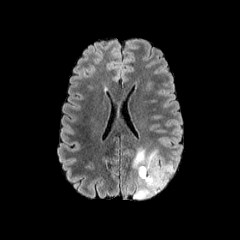
FLAIR magnetic resonance.
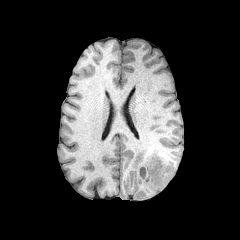
Same slice, T1-weighted MRI.
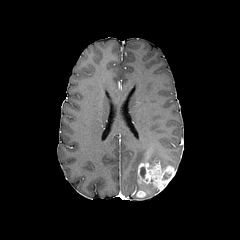
Post-contrast T1-weighted MR image.
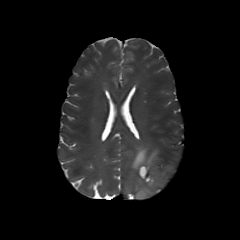
T2-weighted magnetic resonance.
Axial view
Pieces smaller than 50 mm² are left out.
The peritumoral edema lies within (x1=132, y1=146, x2=176, y2=200). The largest necrotic tumor core region is bounded by (x1=140, y1=167, x2=145, y2=178). 2 enhancing tumor regions appear at (x1=136, y1=190, x2=146, y2=198), (x1=137, y1=159, x2=174, y2=190).